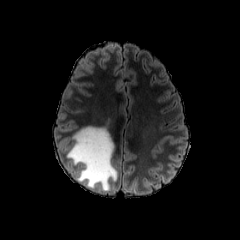
FLAIR MR image.
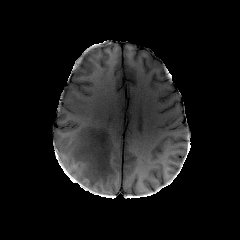
T1-weighted MRI of the same slice.
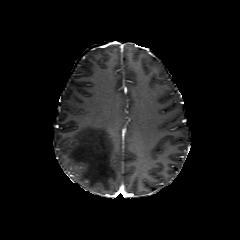
Same slice, post-contrast T1-weighted MR.
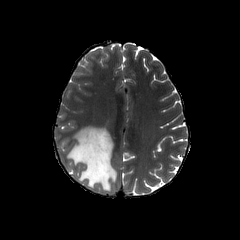
T2-weighted MR image.
Brain | Axial view
<segmentation>
  <peritumoral_edema>x1=67, y1=126, x2=117, y2=190</peritumoral_edema>
</segmentation>